Image width 240 mm, Slice index 88, Head
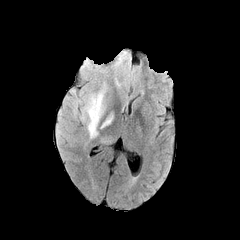
FLAIR MRI.
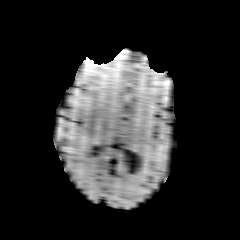
Same slice, T1-weighted MR image.
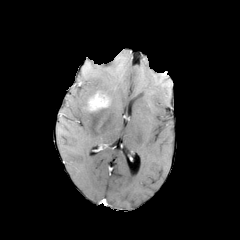
Post-contrast T1-weighted magnetic resonance of the same slice.
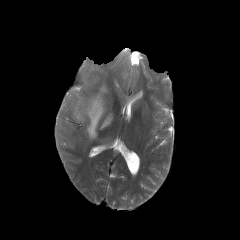
T2-weighted magnetic resonance.
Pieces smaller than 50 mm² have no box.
The enhancing tumor appears at <bbox>89, 93, 108, 111</bbox>. The 2 largest peritumoral edema regions are located at <bbox>83, 100, 104, 137</bbox>, <bbox>101, 116, 112, 127</bbox>.